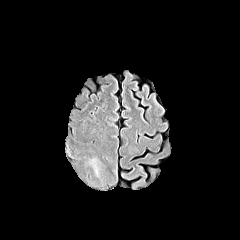
FLAIR magnetic resonance.
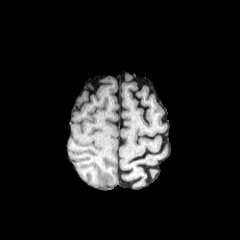
T1-weighted MR.
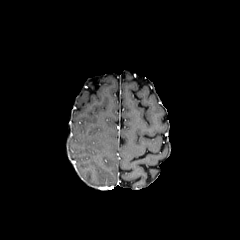
Post-contrast T1-weighted MR image.
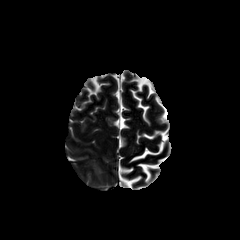
T2-weighted MRI of the same slice.
240x240; Head
Annotated regions:
• peritumoral edema: (left=88, top=157, right=103, bottom=176)